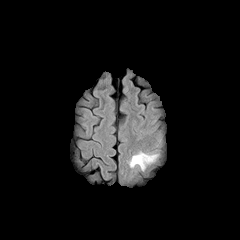
FLAIR MRI.
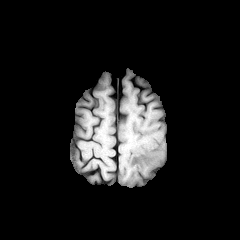
T1-weighted MR image.
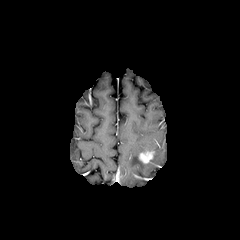
Post-contrast T1-weighted MR.
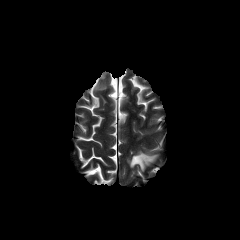
T2-weighted magnetic resonance.
Head, 240x240
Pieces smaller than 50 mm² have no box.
The enhancing tumor is at l=139, t=152, r=153, b=163. The largest peritumoral edema region lies within l=129, t=151, r=158, b=170.